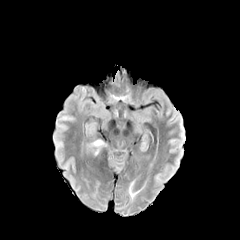
FLAIR MR image.
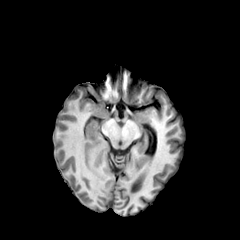
T1-weighted MR.
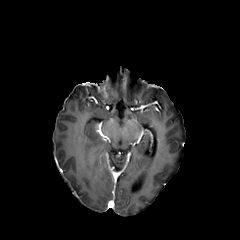
Same slice, post-contrast T1-weighted MR.
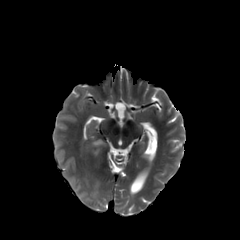
T2-weighted MR image.
Axial plane; Head
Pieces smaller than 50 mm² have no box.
peritumoral edema: bounding box (x1=92, y1=140, x2=104, y2=146)